FLAIR magnetic resonance.
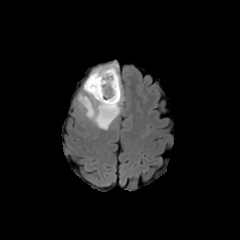
T1-weighted MR image.
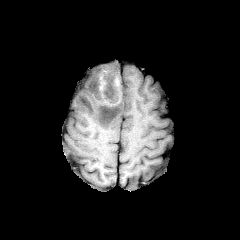
Post-contrast T1-weighted MR image.
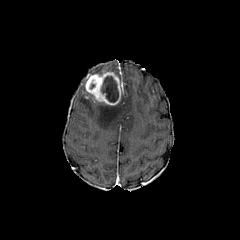
T2-weighted magnetic resonance.
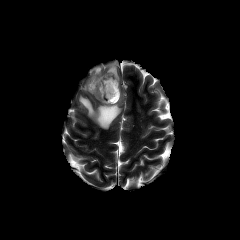
Brain, Axial slice
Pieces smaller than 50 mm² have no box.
The 2 largest peritumoral edema regions are located at box(92, 62, 119, 78); box(78, 92, 123, 129). The enhancing tumor appears at box(85, 69, 121, 105). The largest necrotic tumor core region is at box(101, 76, 118, 102).